Axial plane | Slice index 51 | 240x240 px
FLAIR MRI.
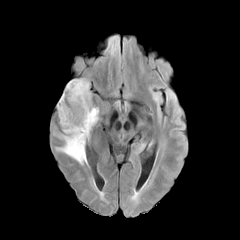
T1-weighted magnetic resonance.
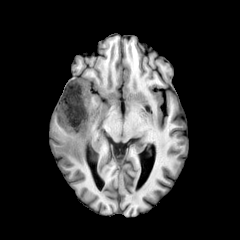
Post-contrast T1-weighted magnetic resonance.
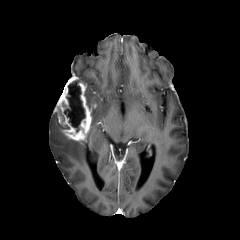
T2-weighted magnetic resonance.
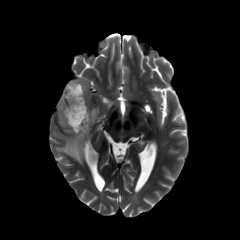
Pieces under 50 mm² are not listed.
{"enhancing_tumor": ["56, 77, 91, 140"], "peritumoral_edema": ["57, 136, 86, 164", "81, 79, 90, 108", "86, 107, 98, 137"], "necrotic_tumor_core": ["64, 81, 85, 132"]}